Axial plane | Brain
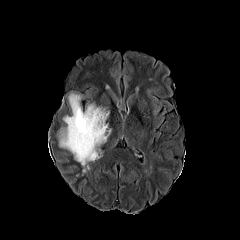
FLAIR MR.
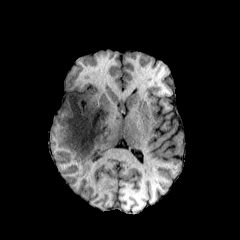
T1-weighted MR image.
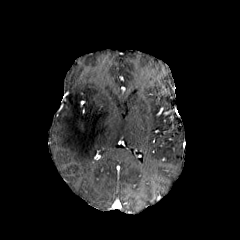
Post-contrast T1-weighted MRI.
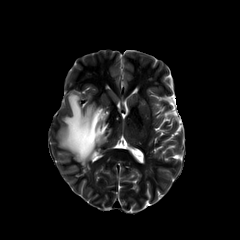
Same slice, T2-weighted MR.
The peritumoral edema is located at (58,93,111,173).